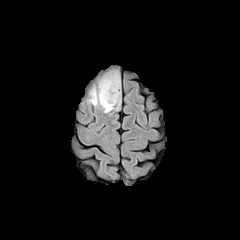
FLAIR magnetic resonance.
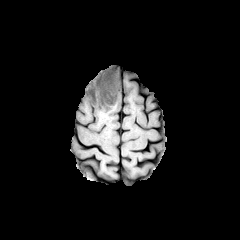
T1-weighted MR image.
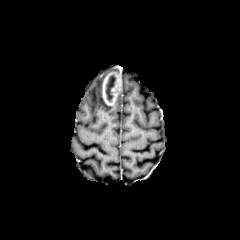
Same slice, post-contrast T1-weighted MRI.
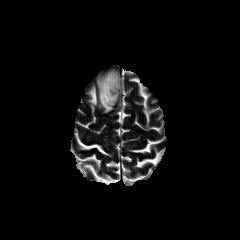
T2-weighted MRI.
Brain; Axial slice
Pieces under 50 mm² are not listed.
Segmented structures:
- necrotic tumor core: 105 74 116 102
- peritumoral edema: 87 74 120 112
- enhancing tumor: 102 72 120 105